FLAIR MR image.
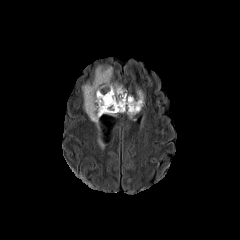
T1-weighted MR.
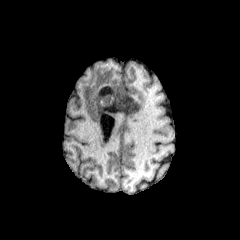
Post-contrast T1-weighted magnetic resonance.
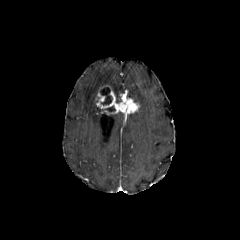
T2-weighted MRI.
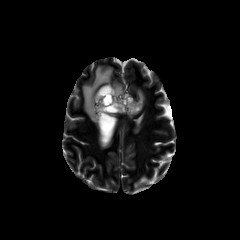
Axial plane | Image size 240x240 | Brain
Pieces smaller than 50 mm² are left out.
{"enhancing_tumor": ["95:85:139:114"], "necrotic_tumor_core": ["100:87:112:105"], "peritumoral_edema": ["82:66:126:126", "128:89:144:118"]}